FLAIR magnetic resonance.
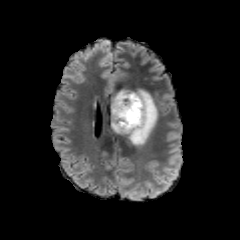
T1-weighted magnetic resonance.
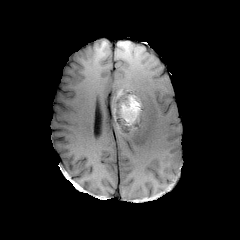
Post-contrast T1-weighted MR.
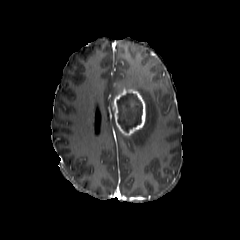
T2-weighted magnetic resonance.
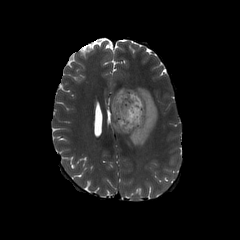
Head.
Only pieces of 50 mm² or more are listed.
necrotic tumor core: bounding box x1=117 y1=93 x2=142 y2=132
peritumoral edema: bounding box x1=126 y1=89 x2=157 y2=145, x1=111 y1=89 x2=123 y2=134
enhancing tumor: bounding box x1=113 y1=89 x2=146 y2=135